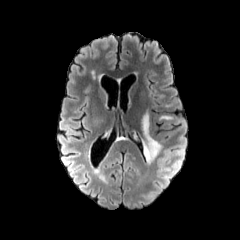
FLAIR magnetic resonance.
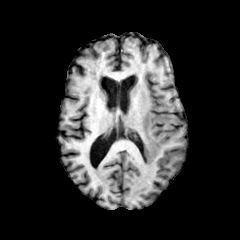
T1-weighted MR image of the same slice.
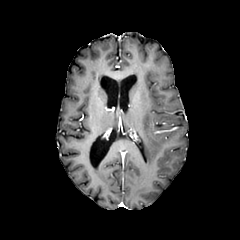
Post-contrast T1-weighted magnetic resonance.
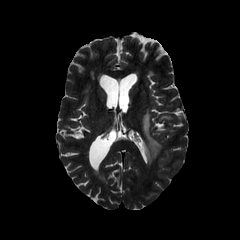
T2-weighted MR image.
Head
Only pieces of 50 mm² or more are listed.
Findings:
* peritumoral edema: l=141, t=112, r=161, b=163